Head, Image covers 240 mm x 240 mm
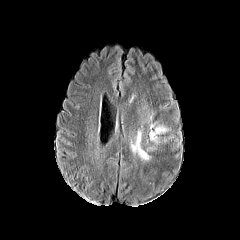
FLAIR MRI.
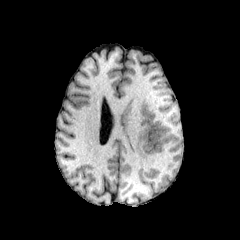
T1-weighted MRI.
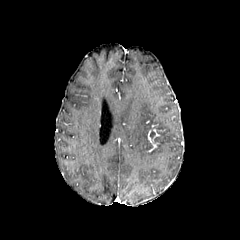
Post-contrast T1-weighted magnetic resonance.
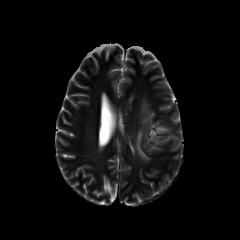
T2-weighted magnetic resonance.
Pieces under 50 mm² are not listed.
The 2 largest peritumoral edema regions appear at 156,126,167,133; 134,130,148,159.